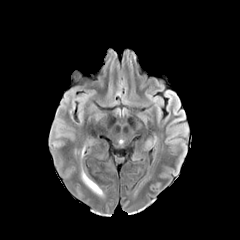
FLAIR MRI.
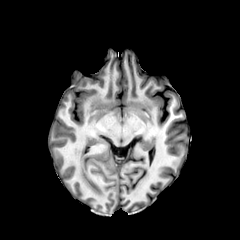
Same slice, T1-weighted MRI.
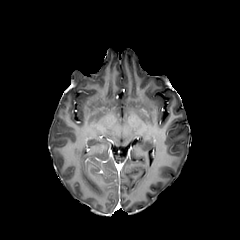
Post-contrast T1-weighted MR image of the same slice.
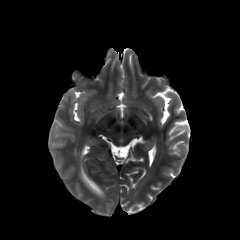
T2-weighted MRI of the same slice.
240x240 px. Axial view.
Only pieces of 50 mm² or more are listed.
peritumoral edema: (81,164,103,196)